FLAIR MR.
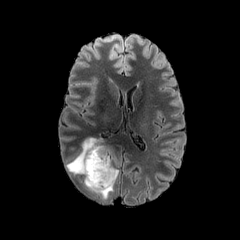
T1-weighted MRI.
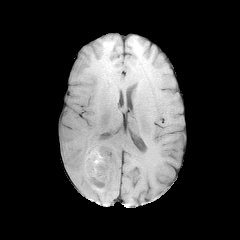
Post-contrast T1-weighted MR image.
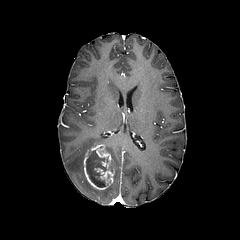
T2-weighted MRI.
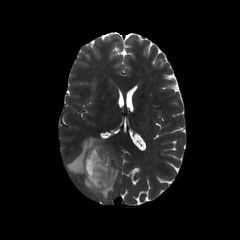
Axial slice | 240x240
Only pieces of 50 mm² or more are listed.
peritumoral edema: <box>66,137,119,199</box> | necrotic tumor core: <box>86,150,108,187</box> | enhancing tumor: <box>83,144,116,190</box>